Axial slice | 240x240 px
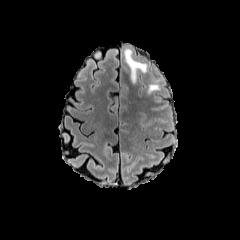
FLAIR MRI.
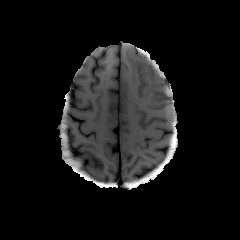
Same slice, T1-weighted MRI.
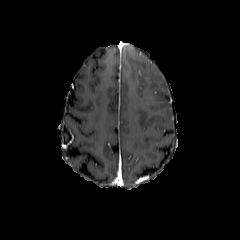
Post-contrast T1-weighted magnetic resonance.
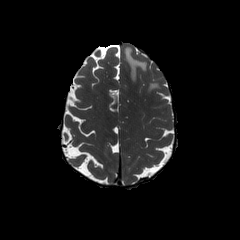
T2-weighted MRI.
peritumoral edema — box=[124, 48, 146, 82]; box=[148, 83, 159, 93]